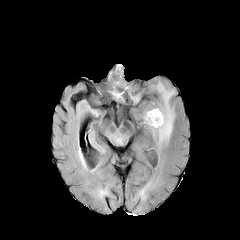
FLAIR MR.
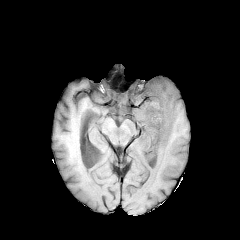
T1-weighted magnetic resonance of the same slice.
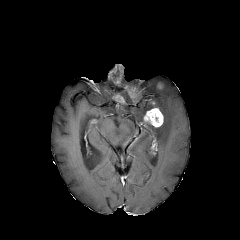
Post-contrast T1-weighted MR image.
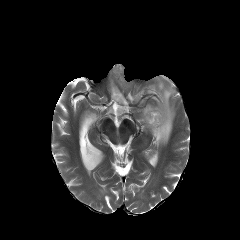
Same slice, T2-weighted magnetic resonance.
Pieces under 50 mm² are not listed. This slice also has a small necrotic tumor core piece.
Findings:
• enhancing tumor: [x1=125, y1=86, x2=140, y2=101], [x1=143, y1=108, x2=163, y2=127], [x1=113, y1=93, x2=125, y2=103], [x1=110, y1=64, x2=123, y2=84]
• peritumoral edema: [x1=143, y1=81, x2=175, y2=146]